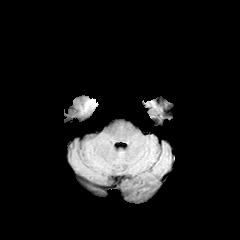
FLAIR MRI.
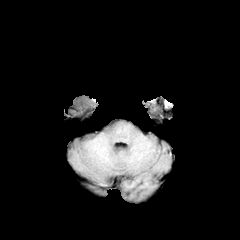
T1-weighted magnetic resonance of the same slice.
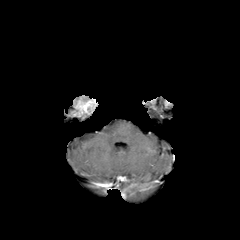
Post-contrast T1-weighted MRI.
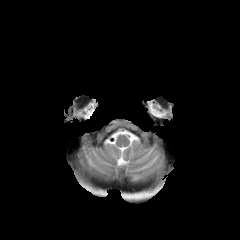
Same slice, T2-weighted MR image.
The enhancing tumor is bounded by (left=71, top=98, right=97, bottom=117).